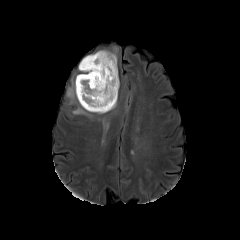
FLAIR MR.
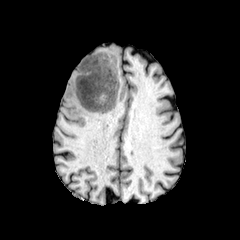
T1-weighted MR.
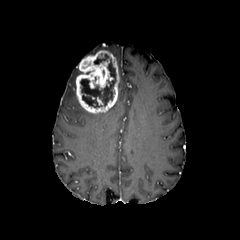
Post-contrast T1-weighted MR image of the same slice.
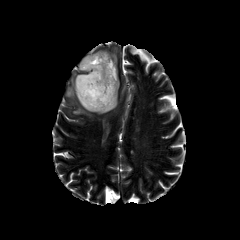
Same slice, T2-weighted magnetic resonance.
Brain
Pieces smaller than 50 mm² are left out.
The 2 largest necrotic tumor core regions are bounded by 94:54:109:64, 80:59:116:107. The 3 largest peritumoral edema regions are located at 72:103:92:117, 67:74:79:103, 110:47:117:64. The largest enhancing tumor region is bounded by 76:50:119:113.